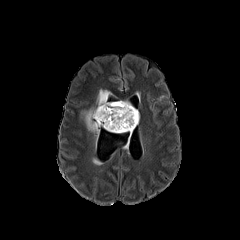
FLAIR MR.
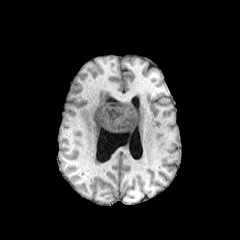
Same slice, T1-weighted MR.
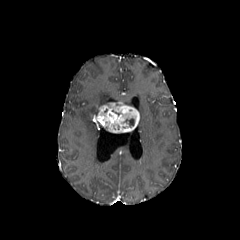
Post-contrast T1-weighted magnetic resonance.
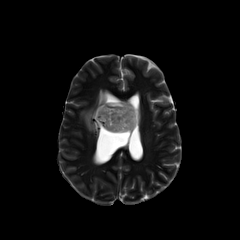
Same slice, T2-weighted MR.
Axial slice. 240x240.
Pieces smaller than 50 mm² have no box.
necrotic tumor core: [x1=125, y1=118, x2=134, y2=126]
peritumoral edema: [x1=81, y1=89, x2=110, y2=139]
enhancing tumor: [x1=93, y1=102, x2=139, y2=132]